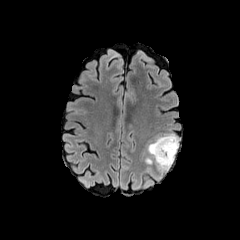
FLAIR MRI.
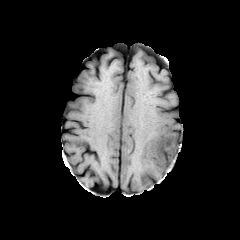
T1-weighted magnetic resonance.
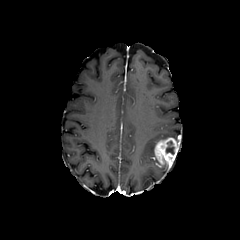
Post-contrast T1-weighted MRI.
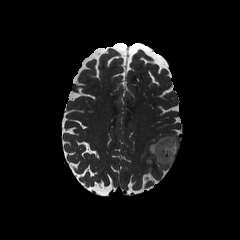
T2-weighted magnetic resonance.
Axial plane
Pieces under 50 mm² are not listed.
enhancing tumor: region(154, 137, 178, 168)
necrotic tumor core: region(166, 146, 174, 154)
peritumoral edema: region(145, 134, 179, 164)